FLAIR MR.
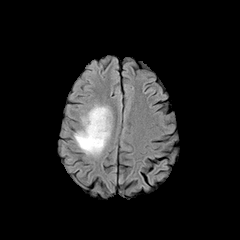
T1-weighted MRI.
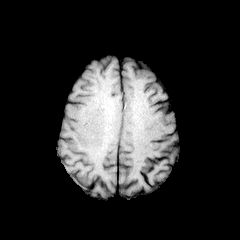
Post-contrast T1-weighted MRI.
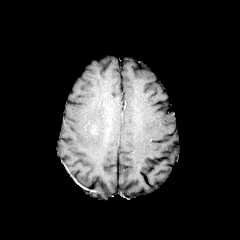
T2-weighted MRI.
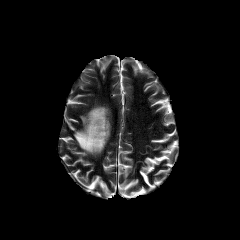
Brain | Axial view | Image size 240x240
peritumoral_edema:
  - [74,105,110,154]
enhancing_tumor:
  - [91,124,97,134]